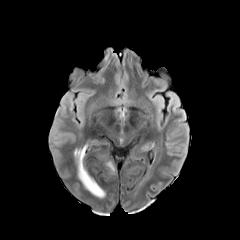
FLAIR MR.
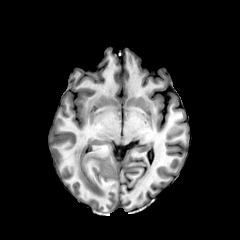
T1-weighted MR.
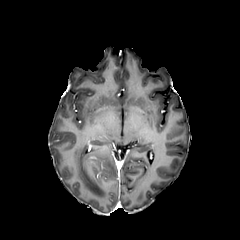
Post-contrast T1-weighted magnetic resonance.
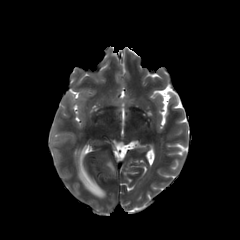
Same slice, T2-weighted magnetic resonance.
Brain
peritumoral edema: bounding box 74 145 105 198, 106 161 114 172